FLAIR MR image.
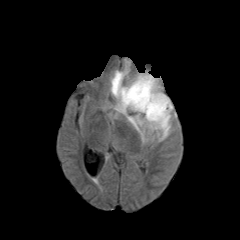
T1-weighted MRI.
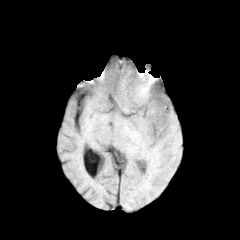
Post-contrast T1-weighted MRI.
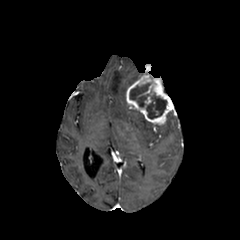
T2-weighted MR image.
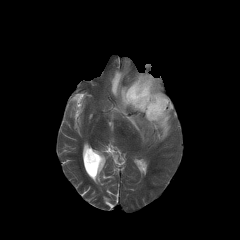
Head
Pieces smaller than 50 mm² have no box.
Findings:
* necrotic tumor core: 146,95,166,118; 130,83,150,107
* peritumoral edema: 127,112,171,142; 110,67,143,114
* enhancing tumor: 126,74,175,127